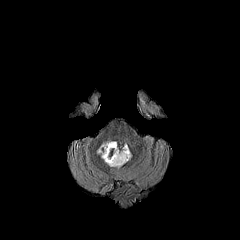
FLAIR MR.
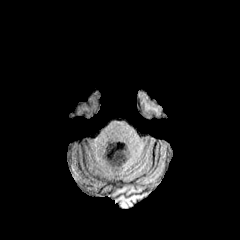
Same slice, T1-weighted MRI.
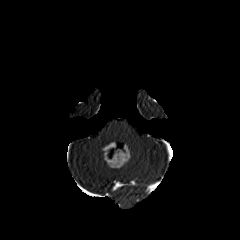
Same slice, post-contrast T1-weighted magnetic resonance.
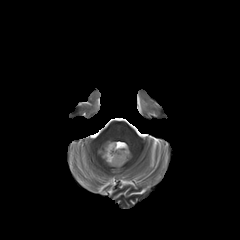
T2-weighted magnetic resonance.
Head
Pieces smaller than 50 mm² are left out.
The necrotic tumor core is bounded by 107 148 115 158. The largest peritumoral edema region is bounded by 97 141 114 159. The enhancing tumor is bounded by 102 142 130 167.